240x240 px; Image width 240 mm, 1.00 mm slice spacing; Head; Slice index 67
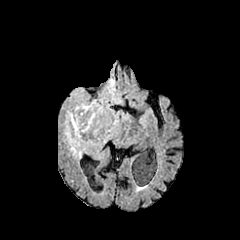
FLAIR magnetic resonance.
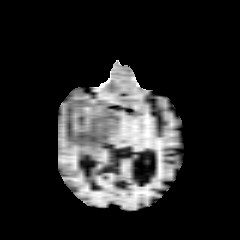
Same slice, T1-weighted MR image.
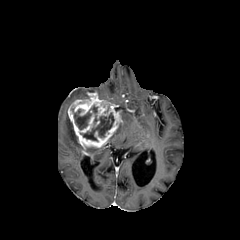
Post-contrast T1-weighted magnetic resonance of the same slice.
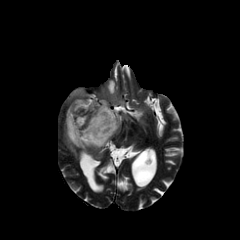
T2-weighted MR of the same slice.
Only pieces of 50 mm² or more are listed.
<segmentation>
  <enhancing_tumor>bbox=[68, 92, 122, 153]</enhancing_tumor>
  <necrotic_tumor_core>bbox=[82, 113, 114, 140]; bbox=[74, 109, 91, 129]</necrotic_tumor_core>
  <peritumoral_edema>bbox=[64, 115, 82, 159]; bbox=[71, 89, 88, 98]; bbox=[121, 112, 128, 120]; bbox=[102, 79, 123, 104]</peritumoral_edema>
</segmentation>